FLAIR MR.
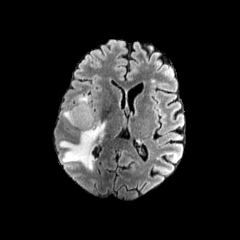
T1-weighted MR.
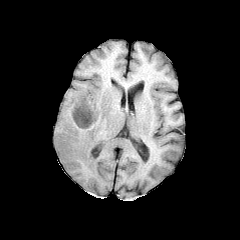
Post-contrast T1-weighted MR.
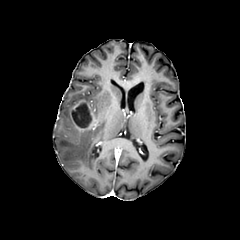
T2-weighted MR.
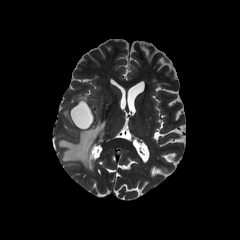
Axial view
{
  "enhancing_tumor": [
    "(x1=71, y1=99, x2=97, y2=130)"
  ],
  "necrotic_tumor_core": [
    "(x1=72, y1=103, x2=91, y2=128)"
  ],
  "peritumoral_edema": [
    "(x1=76, y1=95, x2=88, y2=102)",
    "(x1=59, y1=120, x2=106, y2=171)",
    "(x1=64, y1=109, x2=74, y2=125)"
  ]
}